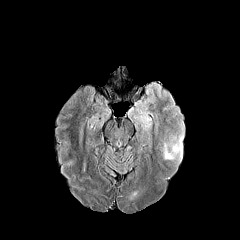
FLAIR MRI.
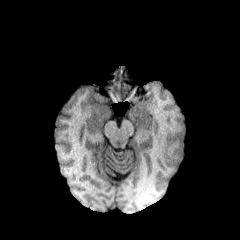
Same slice, T1-weighted MR image.
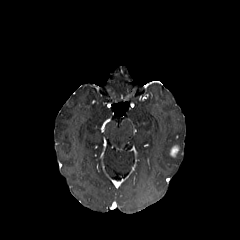
Post-contrast T1-weighted MR image.
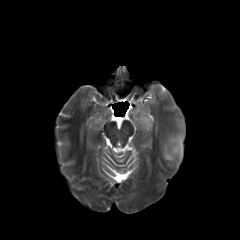
T2-weighted MR image.
Axial view; Image size 240x240
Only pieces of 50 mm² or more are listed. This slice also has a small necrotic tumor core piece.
The enhancing tumor lies within left=170, top=145, right=180, bottom=156. The 2 largest peritumoral edema regions are bounded by left=161, top=119, right=184, bottom=162; left=139, top=104, right=152, bottom=139.